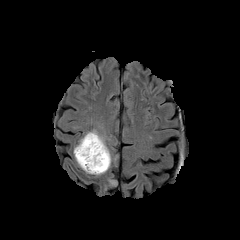
FLAIR MR image.
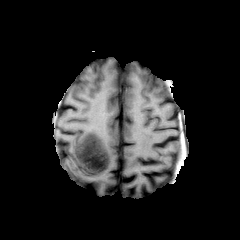
Same slice, T1-weighted MR.
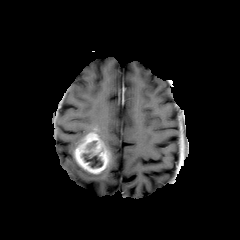
Post-contrast T1-weighted magnetic resonance.
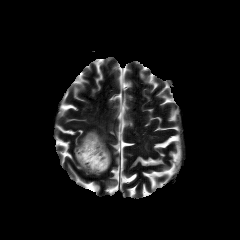
T2-weighted magnetic resonance.
Head, Image size 240x240
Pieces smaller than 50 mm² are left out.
The enhancing tumor lies within (left=74, top=132, right=110, bottom=173). The 2 largest peritumoral edema regions are bounded by (left=91, top=155, right=111, bottom=175), (left=84, top=129, right=106, bottom=146). The largest necrotic tumor core region is located at (left=83, top=153, right=102, bottom=167).